Axial slice | Head | 240x240
FLAIR MR image.
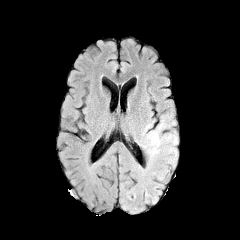
T1-weighted MR image.
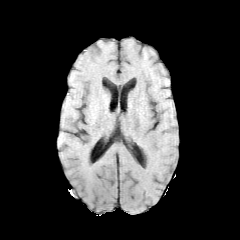
Post-contrast T1-weighted MRI.
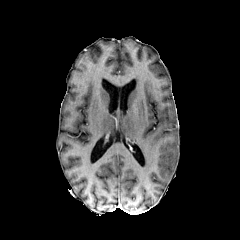
T2-weighted MR.
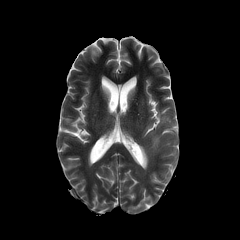
* peritumoral edema: [150,133,159,152]